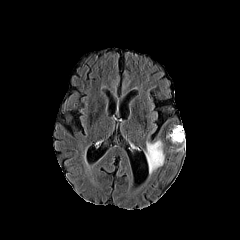
FLAIR MRI.
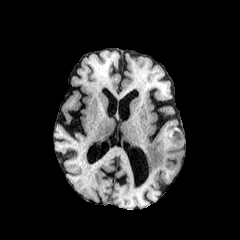
T1-weighted MR.
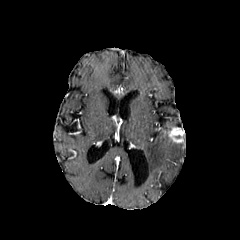
Post-contrast T1-weighted MR.
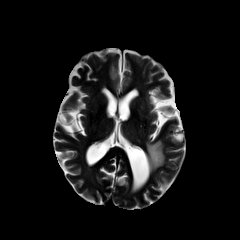
T2-weighted MRI.
Brain
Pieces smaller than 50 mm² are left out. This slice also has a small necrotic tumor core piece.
{"peritumoral_edema": ["[x1=145, y1=140, x2=164, y2=172]"], "enhancing_tumor": ["[x1=168, y1=127, x2=184, y2=143]"]}